240x240, Brain
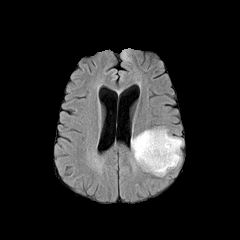
FLAIR MR.
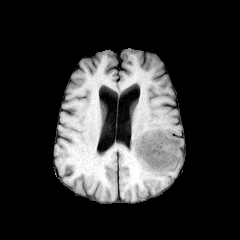
Same slice, T1-weighted MR.
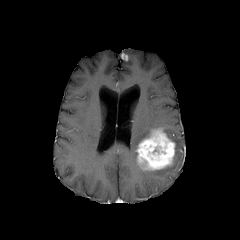
Same slice, post-contrast T1-weighted MR image.
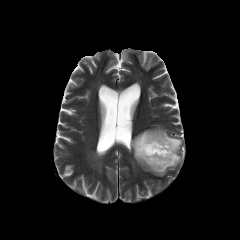
T2-weighted MR.
peritumoral edema: box=[147, 128, 182, 176]; box=[131, 130, 150, 161]; box=[121, 49, 132, 61] | enhancing tumor: box=[135, 128, 175, 170]; box=[120, 53, 127, 61]